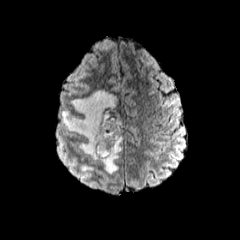
FLAIR magnetic resonance.
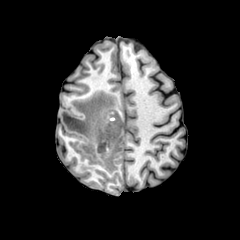
T1-weighted MRI of the same slice.
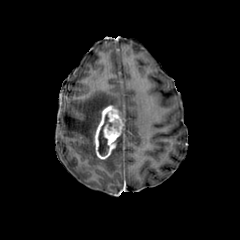
Post-contrast T1-weighted MRI of the same slice.
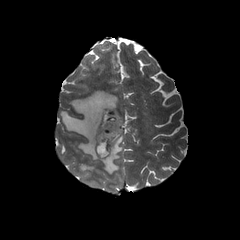
T2-weighted MRI.
Head, Axial view
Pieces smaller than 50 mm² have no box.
enhancing tumor = rect(94, 105, 123, 159)
necrotic tumor core = rect(98, 113, 120, 155)
peritumoral edema = rect(61, 90, 122, 174); rect(81, 165, 93, 171)